FLAIR magnetic resonance.
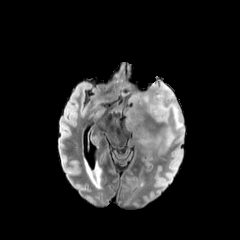
T1-weighted magnetic resonance.
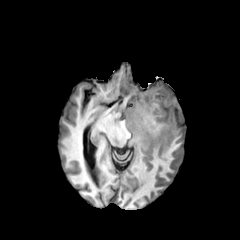
Post-contrast T1-weighted MRI.
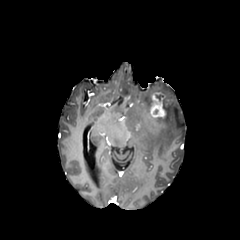
T2-weighted MR image.
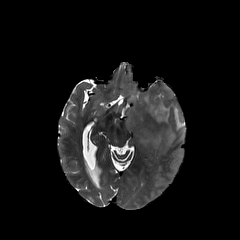
Brain, Axial view, 240x240 px
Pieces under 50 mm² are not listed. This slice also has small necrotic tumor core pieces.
The peritumoral edema is at x1=122, y1=81, x2=184, y2=150. The enhancing tumor is bounded by x1=149, y1=92, x2=166, y2=118.